Axial view | Head
FLAIR magnetic resonance.
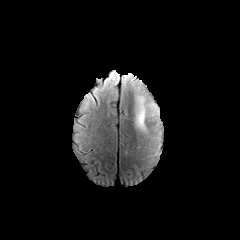
T1-weighted MR.
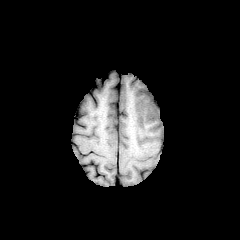
Post-contrast T1-weighted MRI.
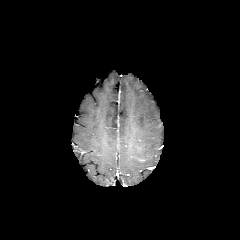
T2-weighted MRI.
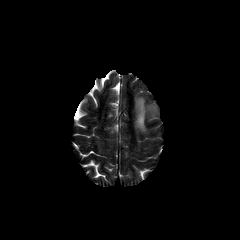
peritumoral edema: l=135, t=96, r=159, b=132